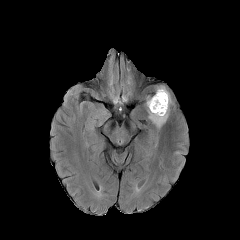
FLAIR magnetic resonance.
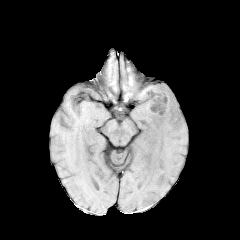
T1-weighted MRI.
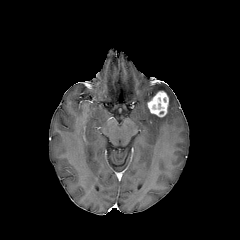
Post-contrast T1-weighted MR image.
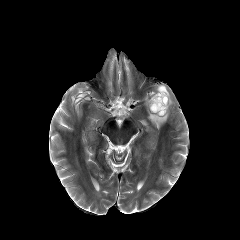
T2-weighted MR image.
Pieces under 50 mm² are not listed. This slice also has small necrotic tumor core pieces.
The peritumoral edema is at <bbox>146, 85, 173, 128</bbox>. The enhancing tumor appears at <bbox>147, 91, 168, 117</bbox>.